Image width 240 mm, 1.00 mm slice spacing | Axial plane | Head | 240x240 px
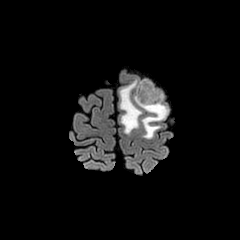
FLAIR MRI.
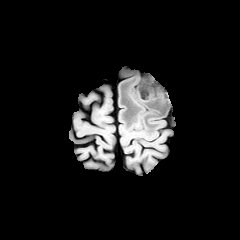
T1-weighted MR.
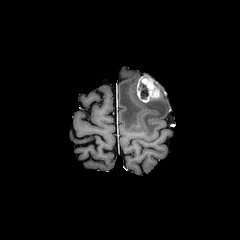
Same slice, post-contrast T1-weighted MRI.
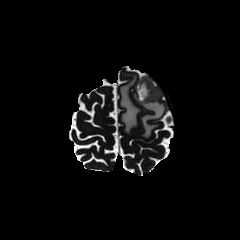
Same slice, T2-weighted MRI.
Findings:
• peritumoral edema: x1=133 y1=90 x2=168 y2=138, x1=119 y1=77 x2=142 y2=134
• necrotic tumor core: x1=138 y1=81 x2=148 y2=98
• enhancing tumor: x1=135 y1=76 x2=160 y2=102